Axial view. Image size 240x240.
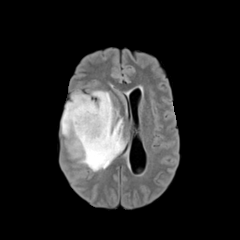
FLAIR MRI.
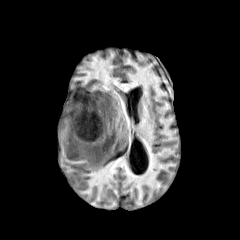
T1-weighted magnetic resonance.
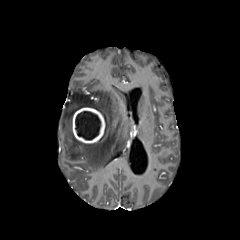
Post-contrast T1-weighted MR image.
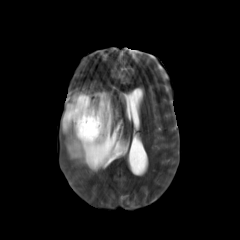
T2-weighted MR image.
necrotic tumor core — [75, 111, 100, 140]
peritumoral edema — [61, 91, 125, 171]
enhancing tumor — [72, 107, 105, 143]